240x240 | Slice index 86
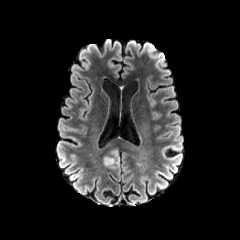
FLAIR magnetic resonance.
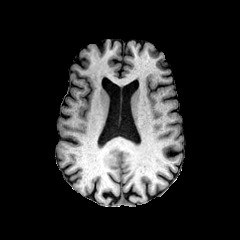
T1-weighted MR.
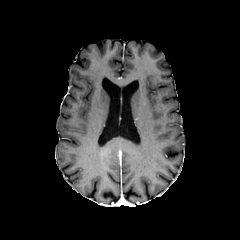
Same slice, post-contrast T1-weighted magnetic resonance.
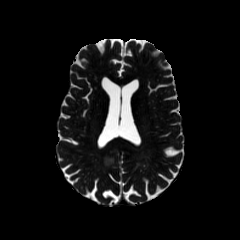
T2-weighted MRI.
Segmented structures:
• peritumoral edema: rect(103, 148, 119, 168)